Head
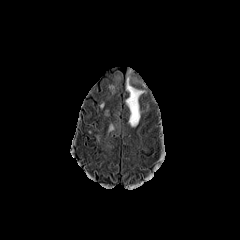
FLAIR magnetic resonance.
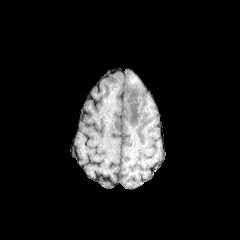
T1-weighted MRI of the same slice.
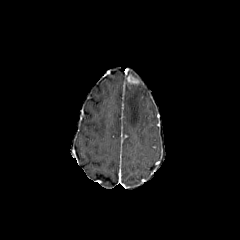
Post-contrast T1-weighted MRI of the same slice.
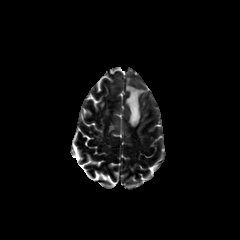
Same slice, T2-weighted magnetic resonance.
enhancing tumor = 126, 74, 140, 84
peritumoral edema = 125, 84, 144, 126